FLAIR MR.
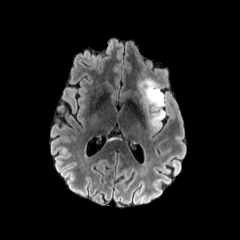
T1-weighted MR.
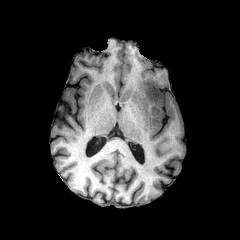
Post-contrast T1-weighted MR image.
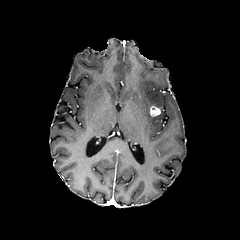
T2-weighted MRI.
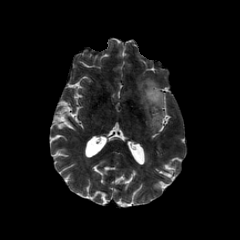
Axial view | Brain
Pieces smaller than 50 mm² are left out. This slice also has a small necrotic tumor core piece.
{
  "enhancing_tumor": [
    "(150,106,160,116)"
  ],
  "peritumoral_edema": [
    "(137,78,166,131)"
  ]
}